FLAIR magnetic resonance.
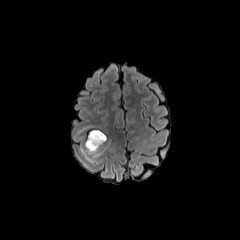
T1-weighted magnetic resonance.
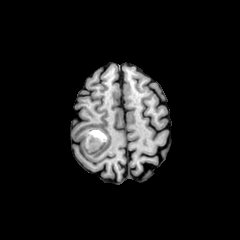
Post-contrast T1-weighted MR.
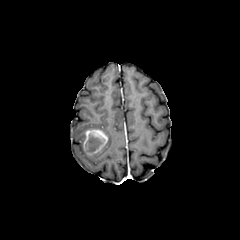
T2-weighted magnetic resonance.
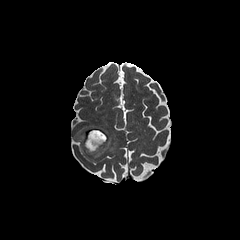
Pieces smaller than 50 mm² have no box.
Annotated regions:
- necrotic tumor core: box=[87, 135, 101, 151]
- enhancing tumor: box=[83, 129, 107, 154]
- peritumoral edema: box=[81, 143, 109, 161]